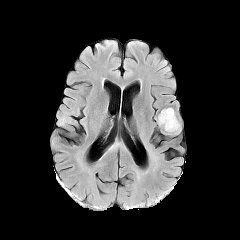
FLAIR MR image.
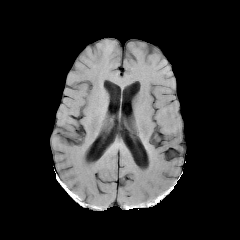
Same slice, T1-weighted MR.
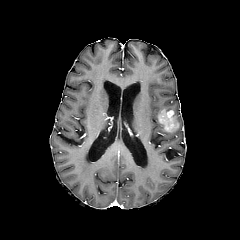
Post-contrast T1-weighted magnetic resonance of the same slice.
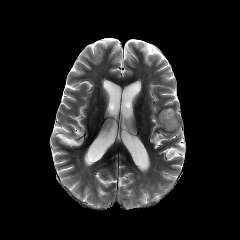
T2-weighted MRI of the same slice.
Axial slice. Brain.
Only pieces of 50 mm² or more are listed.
enhancing tumor: (x1=158, y1=109, x2=179, y2=131) | peritumoral edema: (x1=163, y1=107, x2=181, y2=134)